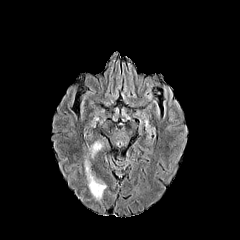
FLAIR MRI.
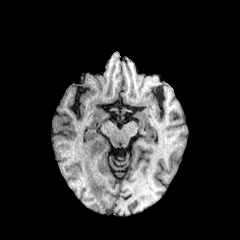
T1-weighted MR.
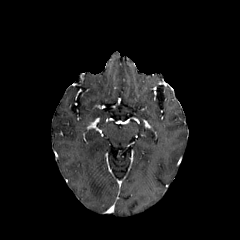
Post-contrast T1-weighted magnetic resonance.
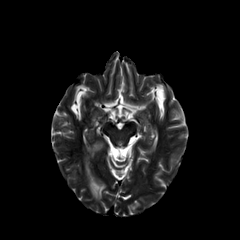
T2-weighted magnetic resonance of the same slice.
Head
peritumoral edema = (84, 157, 106, 200), (89, 137, 104, 157)